FLAIR MRI.
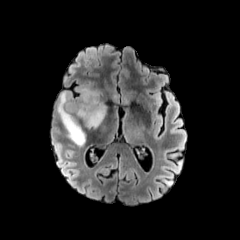
T1-weighted MRI.
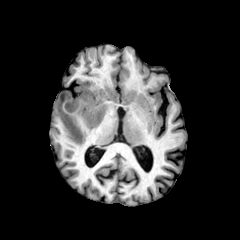
Post-contrast T1-weighted MR image.
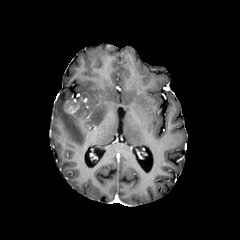
T2-weighted MR.
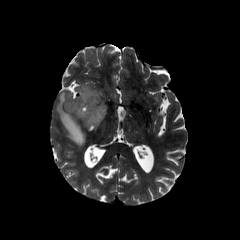
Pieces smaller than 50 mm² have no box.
enhancing tumor: (left=65, top=101, right=78, bottom=113)
peritumoral edema: (left=57, top=87, right=106, bottom=146)